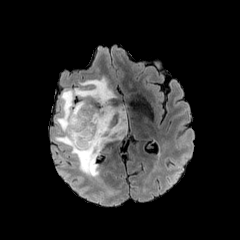
FLAIR MR image.
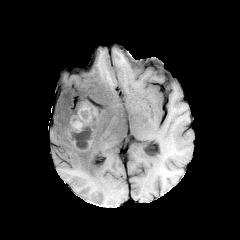
T1-weighted MR image.
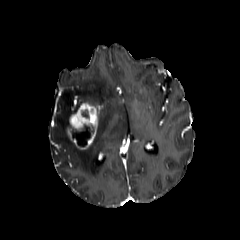
Same slice, post-contrast T1-weighted MR image.
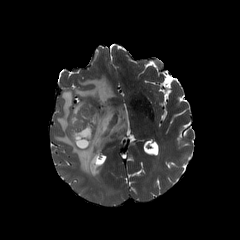
Same slice, T2-weighted MR.
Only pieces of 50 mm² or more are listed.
enhancing_tumor:
  - [67,102,99,150]
necrotic_tumor_core:
  - [70,125,93,147]
peritumoral_edema:
  - [54,77,127,177]